FLAIR MR.
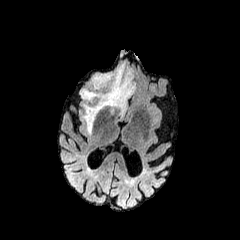
T1-weighted MRI.
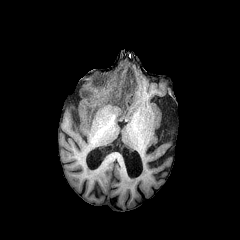
Post-contrast T1-weighted magnetic resonance.
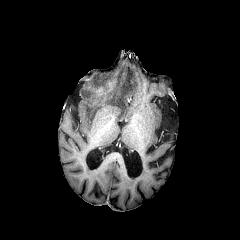
T2-weighted magnetic resonance.
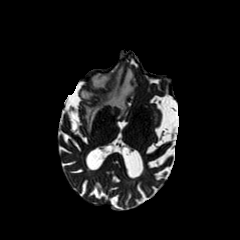
Axial plane. Brain.
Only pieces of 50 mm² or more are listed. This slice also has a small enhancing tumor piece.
peritumoral edema: (x1=81, y1=65, x2=134, y2=132)